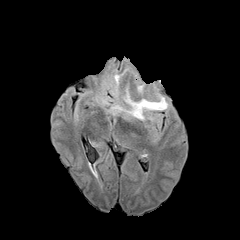
FLAIR magnetic resonance.
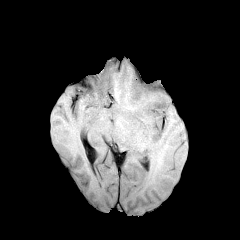
T1-weighted MR image of the same slice.
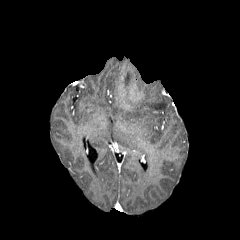
Post-contrast T1-weighted magnetic resonance of the same slice.
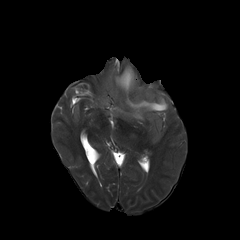
T2-weighted MR of the same slice.
Brain, Axial slice
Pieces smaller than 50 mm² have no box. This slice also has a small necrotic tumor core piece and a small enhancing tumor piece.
The 2 largest peritumoral edema regions are bounded by (left=114, top=74, right=120, bottom=85), (left=111, top=87, right=167, bottom=120).